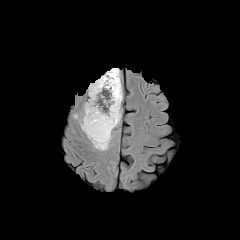
FLAIR MR image.
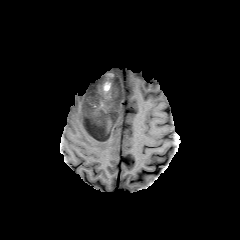
T1-weighted magnetic resonance.
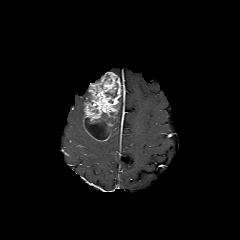
Post-contrast T1-weighted MRI.
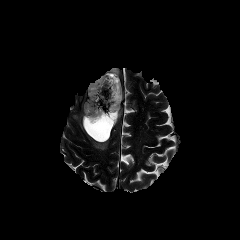
T2-weighted MR of the same slice.
Axial plane. 240x240 px.
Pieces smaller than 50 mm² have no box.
<segmentation>
  <necrotic_tumor_core>85, 113, 116, 140</necrotic_tumor_core>
  <enhancing_tumor>83, 72, 121, 141</enhancing_tumor>
  <peritumoral_edema>107, 68, 119, 77; 112, 88, 123, 131; 73, 104, 111, 150</peritumoral_edema>
</segmentation>